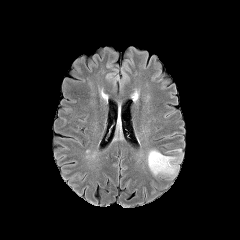
FLAIR magnetic resonance.
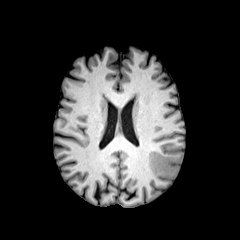
T1-weighted MR image.
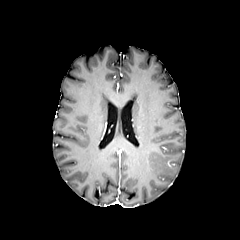
Post-contrast T1-weighted MR image.
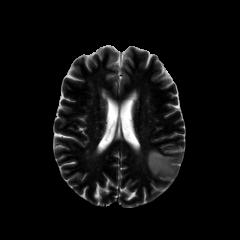
T2-weighted MRI.
Brain. 240x240.
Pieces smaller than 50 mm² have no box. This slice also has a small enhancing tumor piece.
peritumoral edema: {"x1": 147, "y1": 149, "x2": 183, "y2": 179}